Slice 47/155. Brain.
FLAIR MR image.
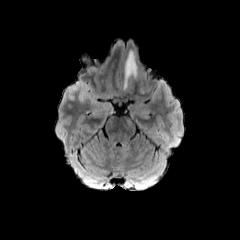
T1-weighted MR.
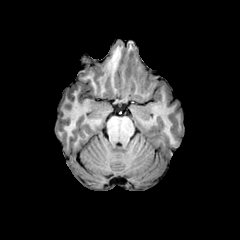
Post-contrast T1-weighted MR.
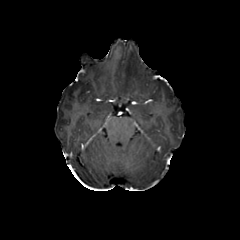
T2-weighted MRI.
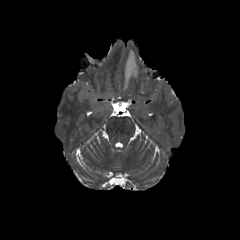
The peritumoral edema is located at 124, 51, 138, 89.